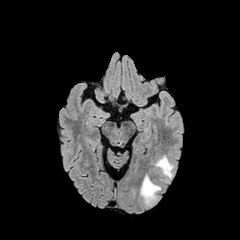
FLAIR magnetic resonance.
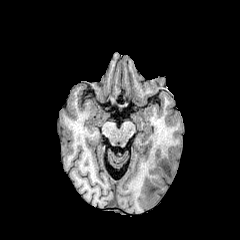
T1-weighted magnetic resonance.
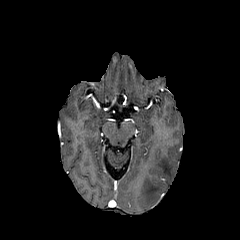
Post-contrast T1-weighted magnetic resonance of the same slice.
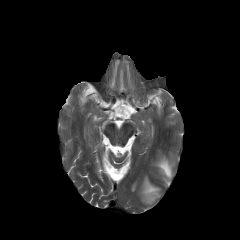
T2-weighted MR image.
240x240
2 peritumoral edema regions appear at l=155, t=155, r=174, b=181; l=140, t=175, r=160, b=204.